Brain; Image covers 240 mm x 240 mm
FLAIR MR.
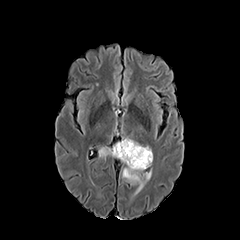
T1-weighted magnetic resonance.
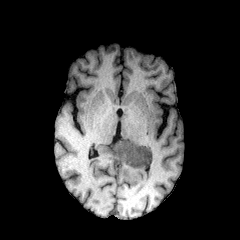
Post-contrast T1-weighted MR.
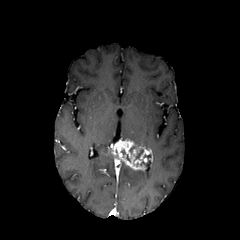
T2-weighted MRI.
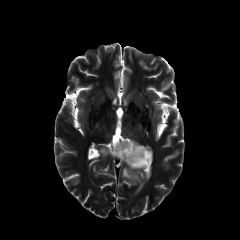
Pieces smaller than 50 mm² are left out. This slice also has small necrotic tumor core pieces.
peritumoral_edema:
  - [x1=99, y1=147, x2=108, y2=158]
  - [x1=122, y1=166, x2=151, y2=193]
enhancing_tumor:
  - [x1=107, y1=139, x2=152, y2=170]